FLAIR MR.
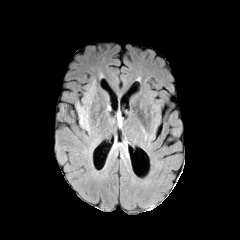
T1-weighted MR image.
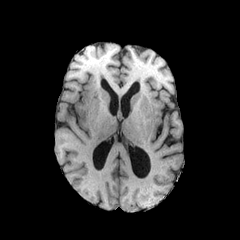
Post-contrast T1-weighted MR image.
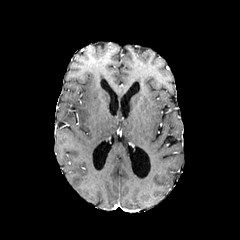
T2-weighted MRI.
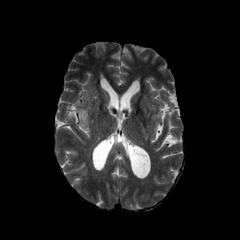
Head
Annotated regions:
* peritumoral edema: (78, 105, 89, 131)